Slice 93 of 155 | Axial plane
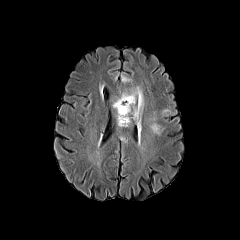
FLAIR MRI.
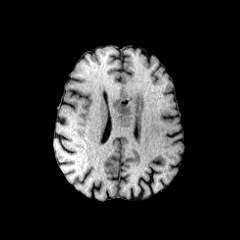
T1-weighted magnetic resonance.
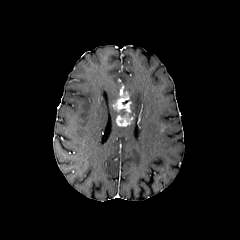
Post-contrast T1-weighted magnetic resonance.
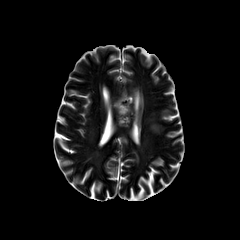
Same slice, T2-weighted MRI.
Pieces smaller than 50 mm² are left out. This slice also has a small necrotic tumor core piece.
peritumoral edema: left=162, top=109, right=171, bottom=116; left=129, top=87, right=143, bottom=120; left=150, top=122, right=162, bottom=134 | enhancing tumor: left=112, top=91, right=133, bottom=126